FLAIR MR image.
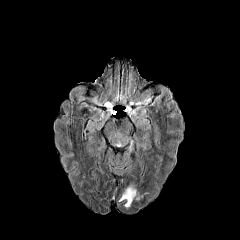
T1-weighted MR.
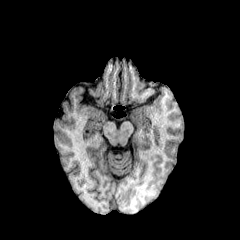
Post-contrast T1-weighted MR image.
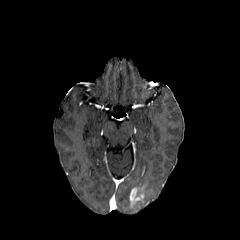
T2-weighted MR.
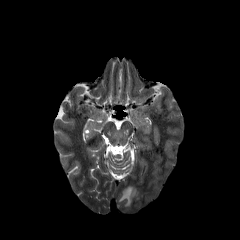
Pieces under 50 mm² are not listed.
enhancing_tumor:
  - (129, 188, 140, 204)
peritumoral_edema:
  - (117, 182, 134, 209)